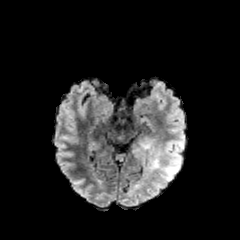
FLAIR MRI.
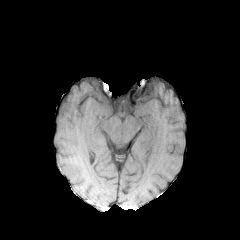
Same slice, T1-weighted MR image.
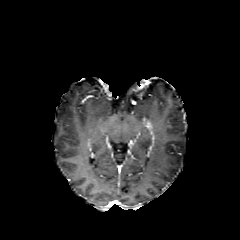
Same slice, post-contrast T1-weighted MR image.
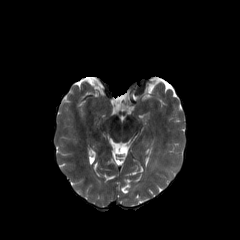
T2-weighted MR of the same slice.
Head | 240x240 px | Axial view
The peritumoral edema appears at bbox=[149, 137, 184, 181].